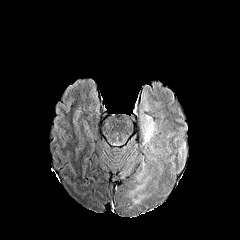
FLAIR magnetic resonance.
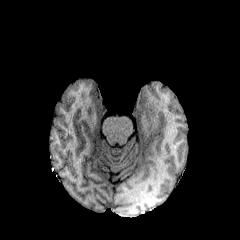
T1-weighted MRI.
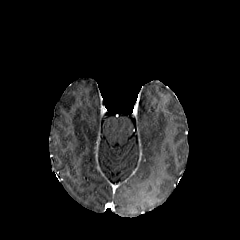
Post-contrast T1-weighted MR.
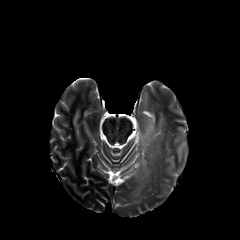
Same slice, T2-weighted MR.
Brain, Image size 240x240
peritumoral edema: (143,116,155,144)